Image width 240 mm, 1.00 mm slice spacing | Head
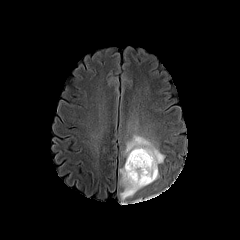
FLAIR MR image.
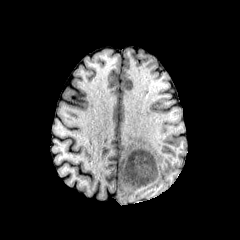
Same slice, T1-weighted MR.
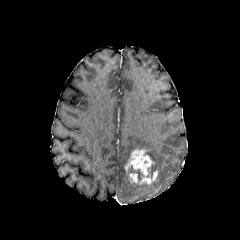
Post-contrast T1-weighted magnetic resonance of the same slice.
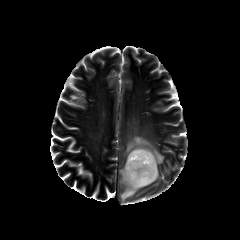
T2-weighted MR image of the same slice.
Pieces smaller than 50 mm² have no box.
Findings:
* enhancing tumor: [x1=124, y1=148, x2=157, y2=185]
* peritumoral edema: [x1=123, y1=134, x2=164, y2=178], [x1=119, y1=167, x2=147, y2=201]
* necrotic tumor core: [x1=129, y1=166, x2=142, y2=180]